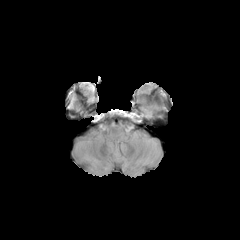
FLAIR MR.
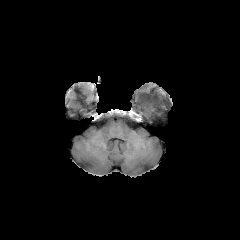
T1-weighted MRI.
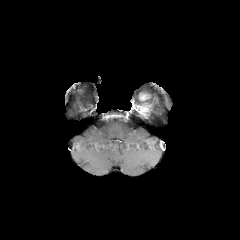
Post-contrast T1-weighted magnetic resonance.
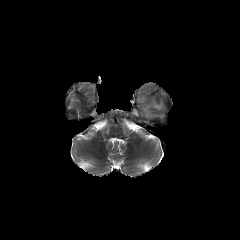
T2-weighted magnetic resonance.
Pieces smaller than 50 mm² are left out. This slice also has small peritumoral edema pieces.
enhancing tumor: left=139, top=93, right=148, bottom=101; left=137, top=103, right=151, bottom=117